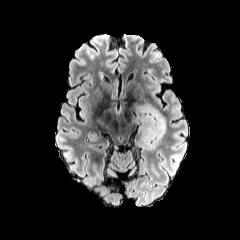
FLAIR MRI.
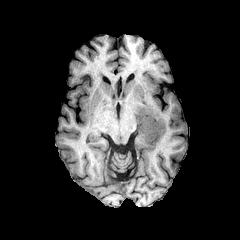
T1-weighted MRI.
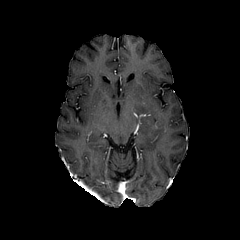
Post-contrast T1-weighted MRI.
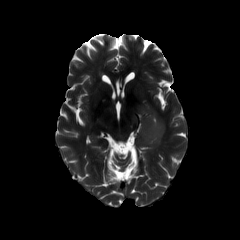
T2-weighted MR image.
Brain
peritumoral_edema:
  - [135, 102, 166, 149]